Slice index 132 | Axial plane
FLAIR magnetic resonance.
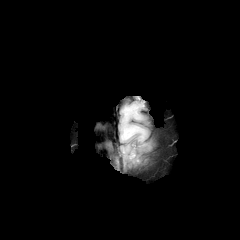
T1-weighted MR image.
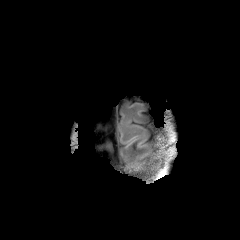
Post-contrast T1-weighted magnetic resonance.
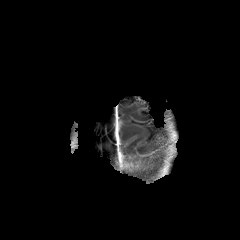
T2-weighted MRI.
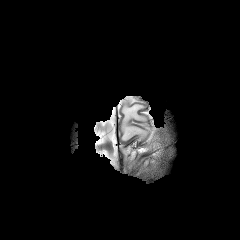
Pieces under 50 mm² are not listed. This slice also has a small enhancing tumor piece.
peritumoral edema: box=[121, 104, 146, 140]; box=[124, 148, 135, 155]